Brain | 240x240 px | Slice 130/155
FLAIR MR image.
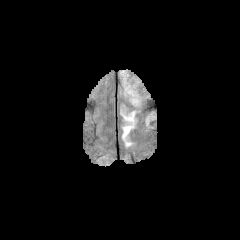
T1-weighted magnetic resonance.
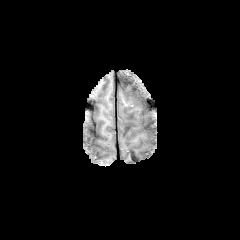
Post-contrast T1-weighted magnetic resonance.
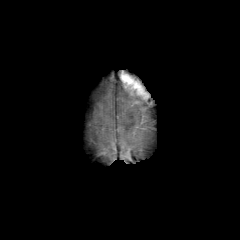
T2-weighted MRI.
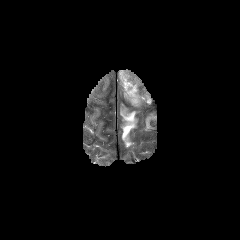
enhancing tumor at rect(118, 70, 154, 107)
peritumoral edema at rect(123, 87, 141, 106); rect(119, 105, 137, 146); rect(146, 114, 155, 130)